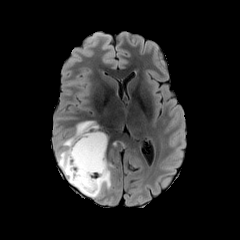
FLAIR magnetic resonance.
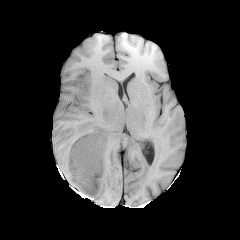
Same slice, T1-weighted MR.
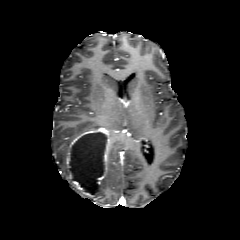
Post-contrast T1-weighted MR image.
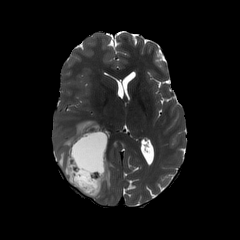
Same slice, T2-weighted magnetic resonance.
Axial slice
enhancing tumor: [97,139,110,185], [65,130,100,197] | necrotic tumor core: [70,133,107,193] | peritumoral edema: [56,121,99,182], [93,161,113,198]